FLAIR MR image.
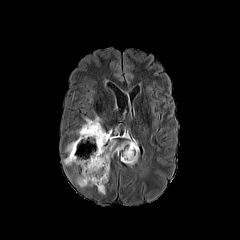
T1-weighted MR image.
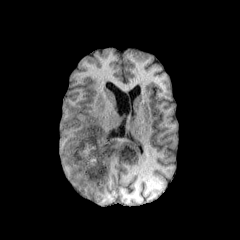
Post-contrast T1-weighted magnetic resonance.
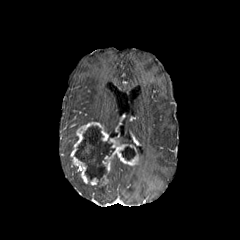
T2-weighted MR.
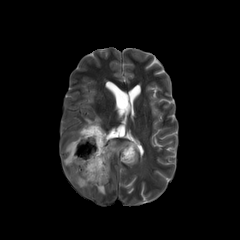
Head
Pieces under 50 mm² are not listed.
enhancing tumor: [70, 121, 138, 186]
necrotic tumor core: [74, 126, 114, 180], [121, 146, 135, 160]
peritumoral edema: [85, 115, 101, 123], [63, 141, 75, 165], [97, 185, 105, 194], [76, 175, 91, 187], [120, 141, 138, 153]